Axial view; Brain
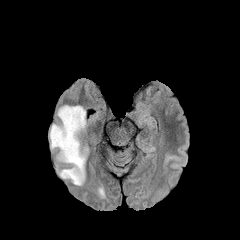
FLAIR MR image.
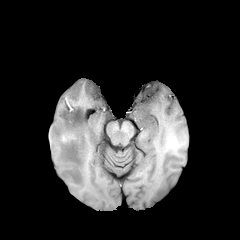
T1-weighted MRI.
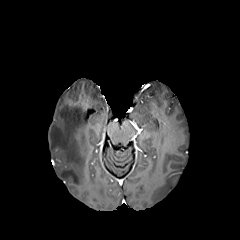
Post-contrast T1-weighted magnetic resonance.
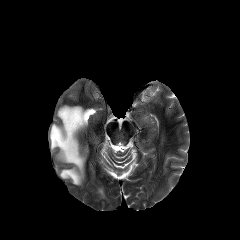
Same slice, T2-weighted MR image.
peritumoral edema: x1=49 y1=105 x2=88 y2=185